Axial view. 240x240. Head.
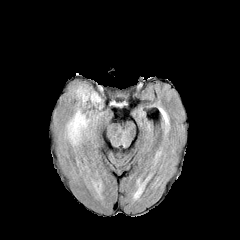
FLAIR MR image.
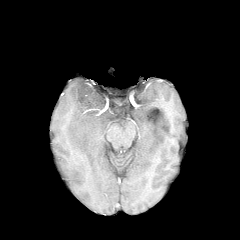
T1-weighted magnetic resonance.
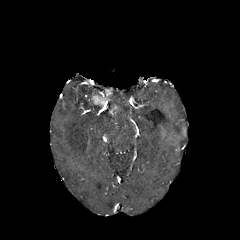
Post-contrast T1-weighted magnetic resonance of the same slice.
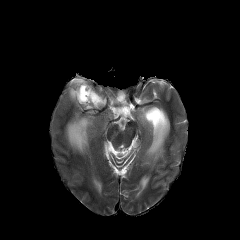
T2-weighted MR of the same slice.
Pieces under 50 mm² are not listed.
<segmentation>
  <enhancing_tumor>[91,90,111,106]</enhancing_tumor>
  <peritumoral_edema>[75,85,95,103], [67,111,89,147]</peritumoral_edema>
</segmentation>